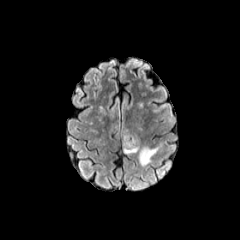
FLAIR magnetic resonance.
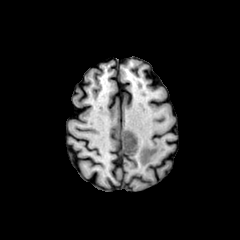
T1-weighted magnetic resonance.
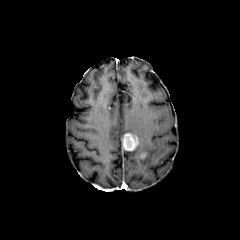
Post-contrast T1-weighted MR of the same slice.
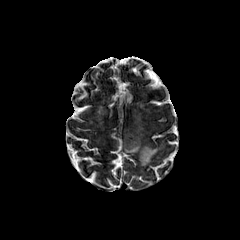
Same slice, T2-weighted MR.
Brain.
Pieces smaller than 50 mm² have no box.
peritumoral_edema:
  - l=124, t=143, r=162, b=166
enhancing_tumor:
  - l=122, t=133, r=138, b=150